FLAIR MRI.
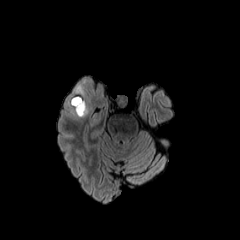
T1-weighted MRI.
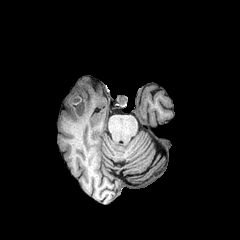
Post-contrast T1-weighted MR.
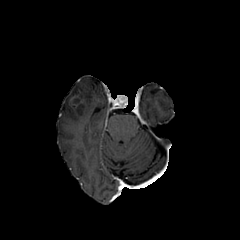
T2-weighted MR.
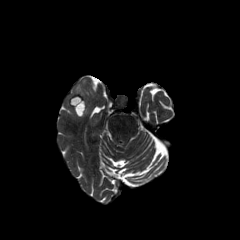
Axial slice
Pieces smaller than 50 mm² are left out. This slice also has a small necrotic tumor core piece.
peritumoral edema: (74, 84, 84, 97), (75, 100, 88, 117) | enhancing tumor: (70, 94, 82, 107)